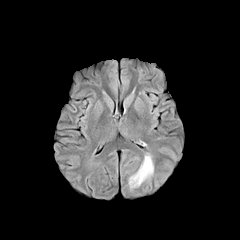
FLAIR MR image.
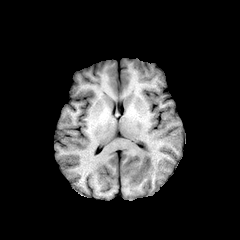
T1-weighted MR image.
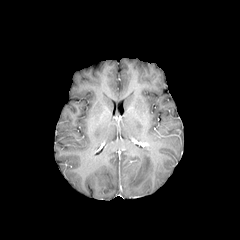
Post-contrast T1-weighted MRI of the same slice.
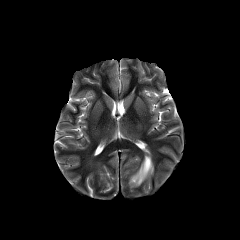
Same slice, T2-weighted MRI.
Axial plane.
The peritumoral edema is located at 129 154 153 187.